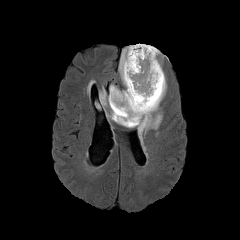
FLAIR MR image.
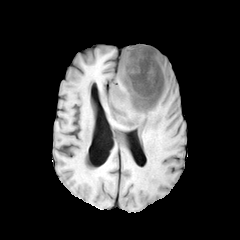
T1-weighted MR image of the same slice.
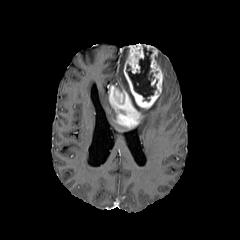
Post-contrast T1-weighted MR.
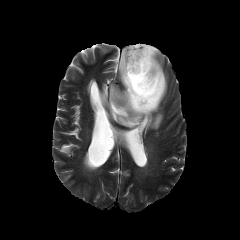
T2-weighted MR.
Brain; Axial view
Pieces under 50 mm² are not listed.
Annotated regions:
- peritumoral edema: box=[99, 89, 115, 121]; box=[136, 73, 167, 139]; box=[119, 46, 127, 90]
- enhancing tumor: box=[109, 43, 163, 128]
- necrotic tumor core: box=[126, 46, 156, 100]